FLAIR magnetic resonance.
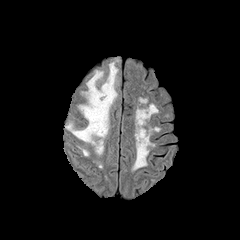
T1-weighted MR.
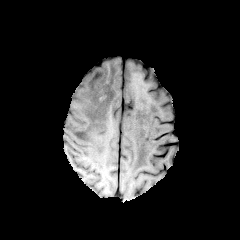
Post-contrast T1-weighted magnetic resonance.
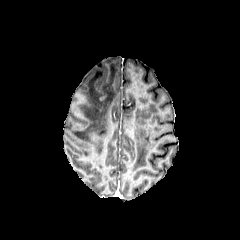
T2-weighted MRI.
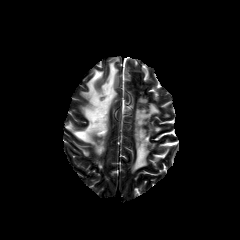
Head | Image size 240x240
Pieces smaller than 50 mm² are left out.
{"peritumoral_edema": ["box(65, 59, 118, 154)"]}